Brain
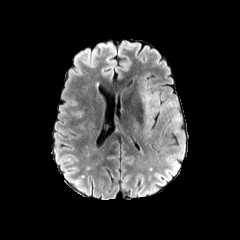
FLAIR MR image.
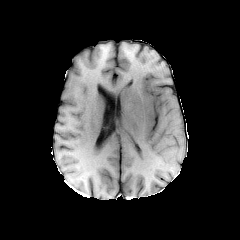
T1-weighted MR.
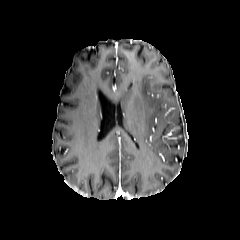
Post-contrast T1-weighted MRI.
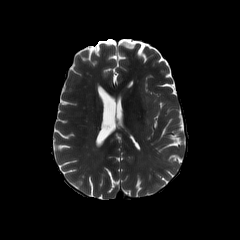
T2-weighted MR.
peritumoral edema: bounding box region(140, 79, 159, 135)